Head | Slice 74 of 155 | Axial view
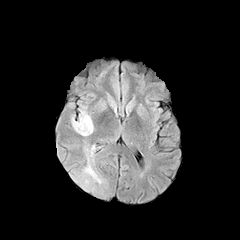
FLAIR magnetic resonance.
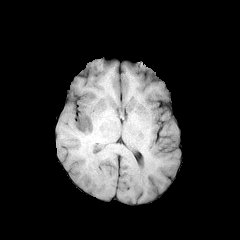
T1-weighted MR image of the same slice.
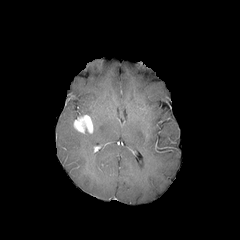
Same slice, post-contrast T1-weighted MR.
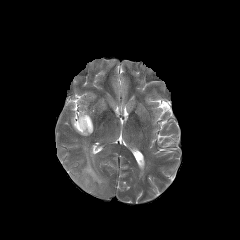
T2-weighted MR image.
enhancing_tumor:
  - region(73, 114, 93, 133)
peritumoral_edema:
  - region(71, 115, 90, 136)
  - region(79, 106, 90, 116)
  - region(78, 145, 103, 191)